FLAIR MR.
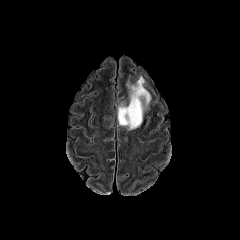
T1-weighted MR.
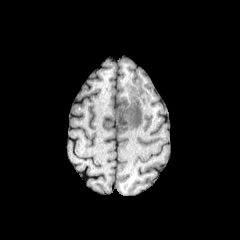
Post-contrast T1-weighted MR.
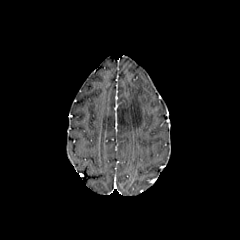
T2-weighted magnetic resonance.
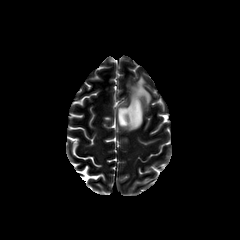
The peritumoral edema appears at rect(118, 76, 150, 130).